Head.
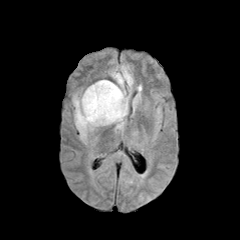
FLAIR MR image.
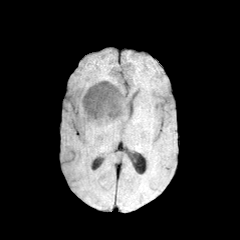
T1-weighted MRI.
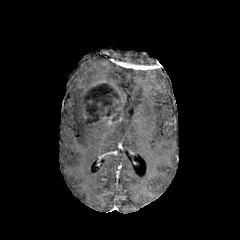
Post-contrast T1-weighted MRI.
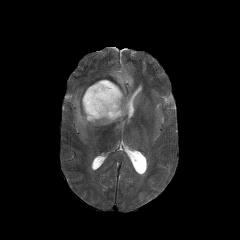
T2-weighted MR image.
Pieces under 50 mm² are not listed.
{"peritumoral_edema": ["73, 95, 109, 140", "110, 66, 133, 130"], "necrotic_tumor_core": ["83, 83, 121, 123"], "enhancing_tumor": ["80, 80, 125, 125"]}